Slice 100/155
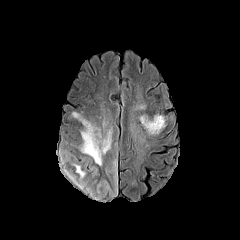
FLAIR MRI.
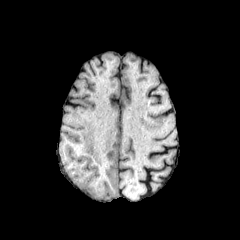
Same slice, T1-weighted MR.
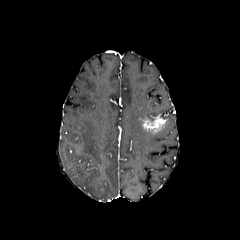
Post-contrast T1-weighted MR.
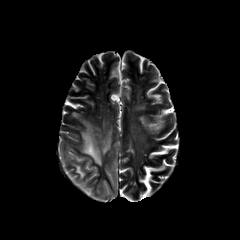
T2-weighted MRI.
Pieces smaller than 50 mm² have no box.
The enhancing tumor is at x1=142 y1=115 x2=166 y2=137. The 3 largest peritumoral edema regions appear at x1=64 y1=156 x2=84 y2=177, x1=73 y1=113 x2=111 y2=165, x1=93 y1=162 x2=117 y2=198.